Axial slice
FLAIR MRI.
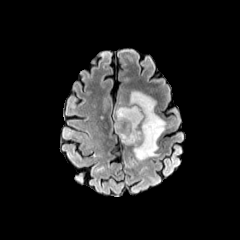
T1-weighted MR.
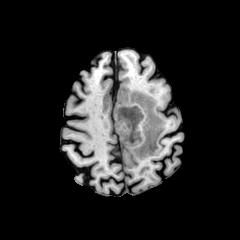
Post-contrast T1-weighted magnetic resonance.
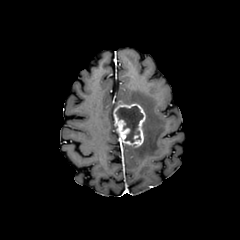
T2-weighted MR image.
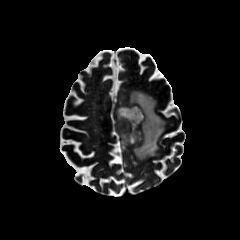
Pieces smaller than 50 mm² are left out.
necrotic tumor core: <bbox>116, 106, 143, 142</bbox>
enhancing tumor: <bbox>114, 100, 145, 146</bbox>
peritumoral edema: <bbox>124, 91, 166, 160</bbox>